Head, Slice 128/155, Axial plane
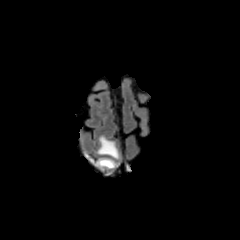
FLAIR MR.
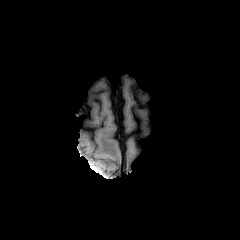
T1-weighted MRI of the same slice.
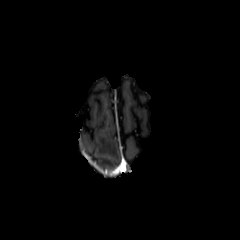
Same slice, post-contrast T1-weighted MR.
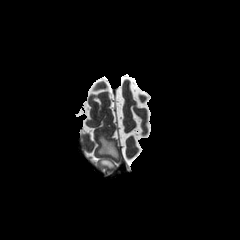
T2-weighted MRI of the same slice.
peritumoral edema — 96, 158, 114, 168; 97, 136, 118, 158